Brain, Image width 240 mm, Slice index 73
FLAIR MR image.
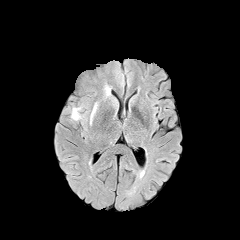
T1-weighted MRI.
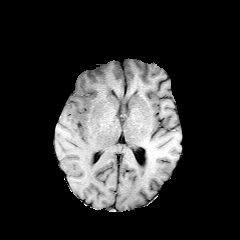
Post-contrast T1-weighted MR image.
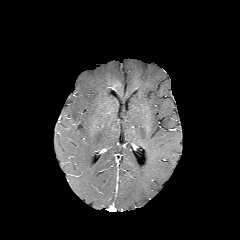
T2-weighted MRI.
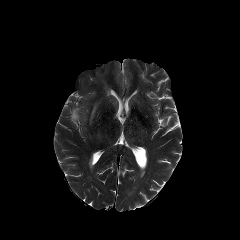
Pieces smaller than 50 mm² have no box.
The 2 largest peritumoral edema regions appear at 71:107:80:120, 90:103:97:123.